Image covers 240 mm x 240 mm. Axial view. Head.
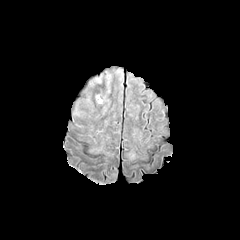
FLAIR MRI.
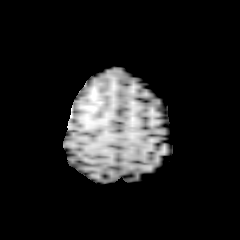
T1-weighted magnetic resonance of the same slice.
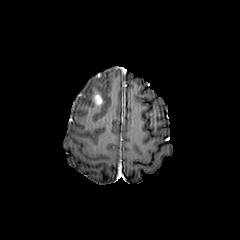
Post-contrast T1-weighted MRI.
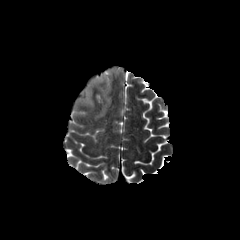
T2-weighted MRI.
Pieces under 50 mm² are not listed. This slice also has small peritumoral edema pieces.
enhancing tumor = x1=92 y1=91 x2=102 y2=103